Axial view. Head. Image covers 240 mm x 240 mm.
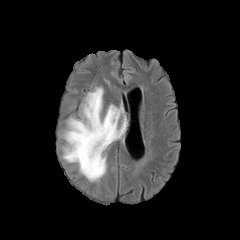
FLAIR MR.
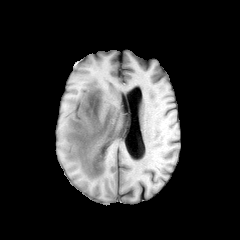
Same slice, T1-weighted MRI.
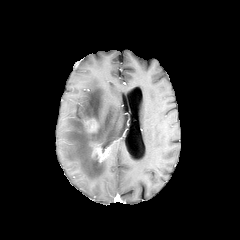
Same slice, post-contrast T1-weighted MR image.
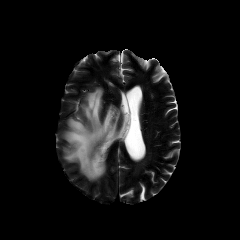
T2-weighted magnetic resonance.
peritumoral edema — left=63, top=87, right=126, bottom=181
enhancing tumor — left=85, top=118, right=98, bottom=132; left=91, top=143, right=108, bottom=162